FLAIR MRI.
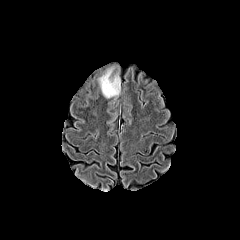
T1-weighted MR.
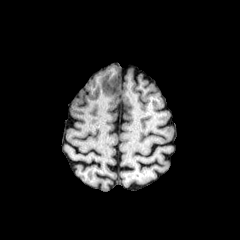
Post-contrast T1-weighted MRI.
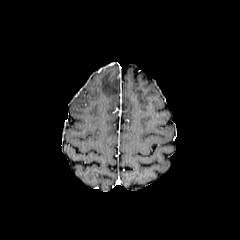
T2-weighted MRI.
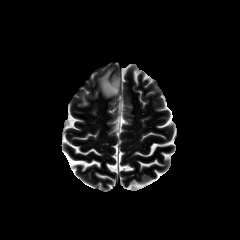
Axial slice, Brain
* peritumoral edema: x1=98 y1=68 x2=119 y2=98